Brain. Axial plane.
FLAIR MR image.
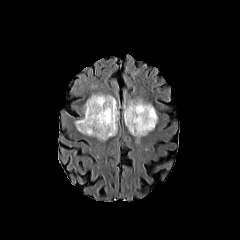
T1-weighted MRI.
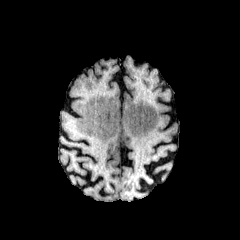
Post-contrast T1-weighted MR image.
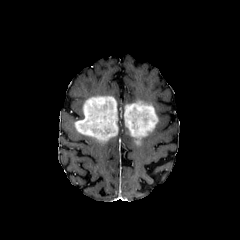
T2-weighted magnetic resonance.
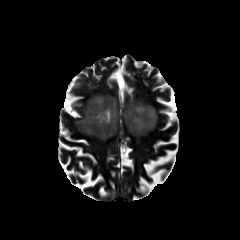
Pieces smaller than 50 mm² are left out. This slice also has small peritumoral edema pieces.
enhancing tumor = rect(75, 96, 118, 141); rect(124, 100, 158, 143)